FLAIR MRI.
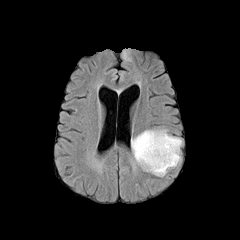
T1-weighted magnetic resonance.
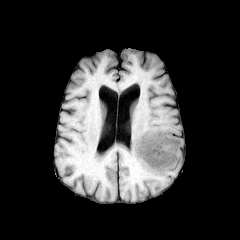
Post-contrast T1-weighted MR.
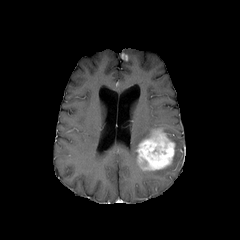
T2-weighted MR.
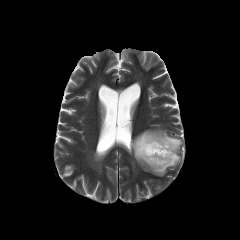
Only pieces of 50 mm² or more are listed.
• peritumoral edema: 131, 130, 151, 161; 146, 133, 181, 176; 122, 49, 131, 60
• enhancing tumor: 136, 129, 175, 170